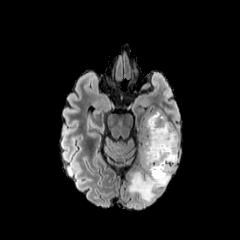
FLAIR MR image.
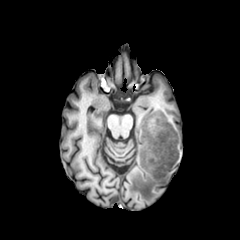
T1-weighted magnetic resonance.
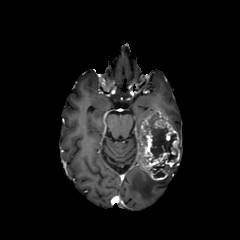
Same slice, post-contrast T1-weighted MRI.
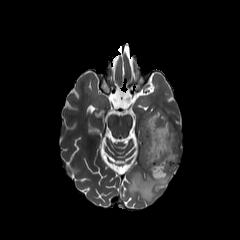
T2-weighted magnetic resonance of the same slice.
Axial slice
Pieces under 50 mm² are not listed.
peritumoral_edema:
  - 129, 162, 177, 201
necrotic_tumor_core:
  - 150, 159, 169, 177
  - 145, 113, 177, 162
enhancing_tumor:
  - 139, 109, 179, 180